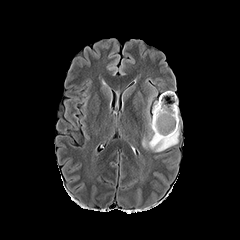
FLAIR magnetic resonance.
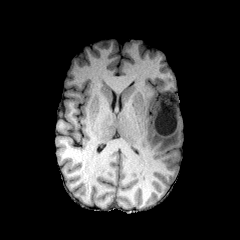
T1-weighted MR.
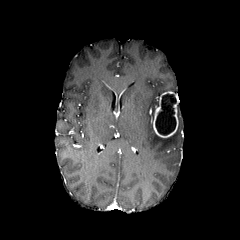
Same slice, post-contrast T1-weighted magnetic resonance.
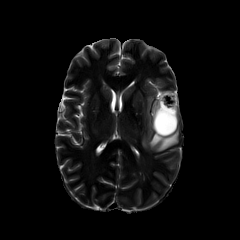
T2-weighted MR image of the same slice.
Brain
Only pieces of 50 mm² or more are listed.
peritumoral edema = 142,117,179,151
necrotic tumor core = 155,93,176,135
enhancing tumor = 152,91,178,137